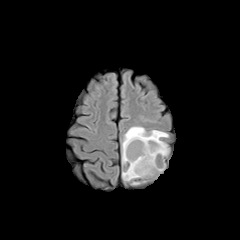
FLAIR magnetic resonance.
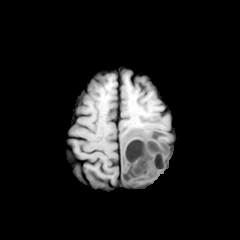
Same slice, T1-weighted MRI.
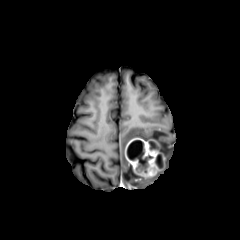
Post-contrast T1-weighted MR.
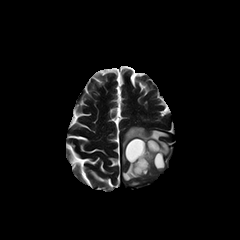
T2-weighted MR of the same slice.
Brain; Axial view
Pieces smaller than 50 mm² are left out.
enhancing tumor at <bbox>125, 138, 166, 176</bbox>
necrotic tumor core at <bbox>127, 140, 143, 160</bbox>, <bbox>155, 154, 162, 167</bbox>
peritumoral edema at <bbox>122, 126, 169, 165</bbox>, <bbox>122, 163, 148, 185</bbox>